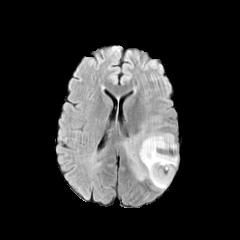
FLAIR MR image.
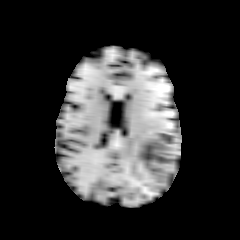
T1-weighted MRI.
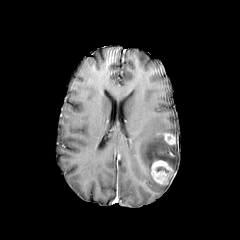
Post-contrast T1-weighted MR image.
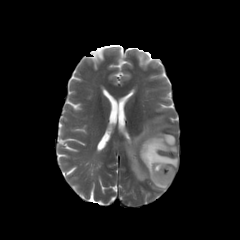
T2-weighted MR image of the same slice.
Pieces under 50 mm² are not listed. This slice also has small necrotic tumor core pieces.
Findings:
• peritumoral edema: 124:119:177:189
• enhancing tumor: 163:133:175:144, 151:160:173:184